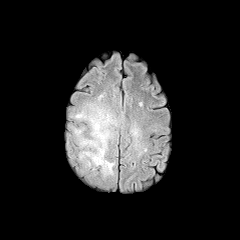
FLAIR magnetic resonance.
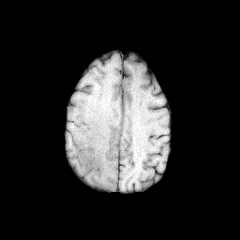
T1-weighted magnetic resonance.
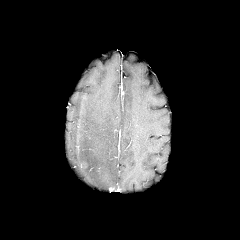
Post-contrast T1-weighted MR of the same slice.
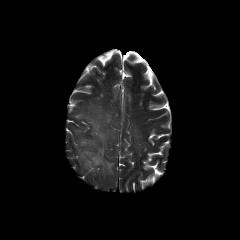
Same slice, T2-weighted MR.
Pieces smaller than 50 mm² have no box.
• peritumoral edema: [74, 103, 117, 177]